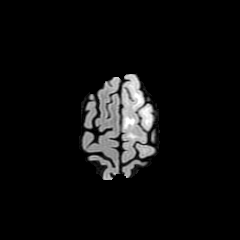
FLAIR magnetic resonance.
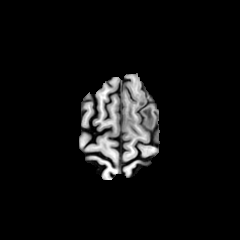
T1-weighted MR image.
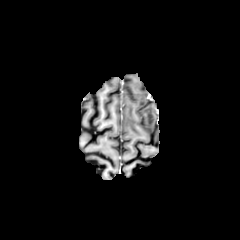
Same slice, post-contrast T1-weighted MR image.
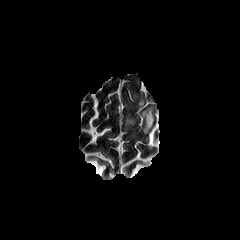
T2-weighted MR image of the same slice.
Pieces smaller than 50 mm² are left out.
* peritumoral edema: left=140, top=106, right=152, bottom=128; left=133, top=92, right=142, bottom=107; left=124, top=116, right=135, bottom=127